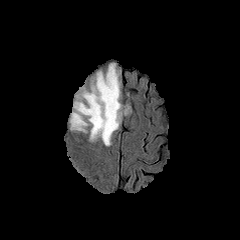
FLAIR magnetic resonance.
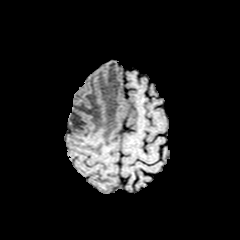
T1-weighted MR.
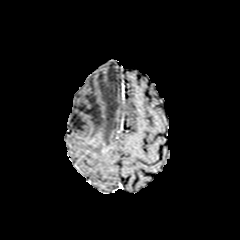
Same slice, post-contrast T1-weighted MR.
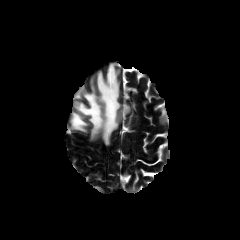
Same slice, T2-weighted MR image.
Axial slice, Head, 240x240
peritumoral edema — 70 63 129 145